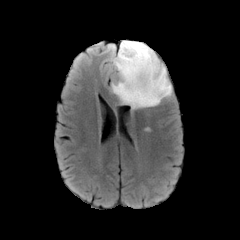
FLAIR MR image.
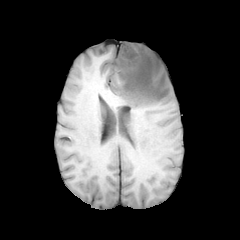
Same slice, T1-weighted MRI.
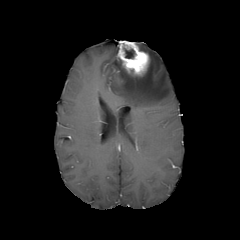
Post-contrast T1-weighted MRI of the same slice.
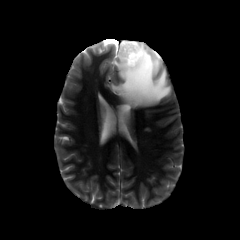
Same slice, T2-weighted magnetic resonance.
Head.
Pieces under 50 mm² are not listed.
<segmentation>
  <peritumoral_edema>region(110, 43, 172, 109)</peritumoral_edema>
  <necrotic_tumor_core>region(125, 49, 134, 58)</necrotic_tumor_core>
  <enhancing_tumor>region(117, 40, 149, 76)</enhancing_tumor>
</segmentation>